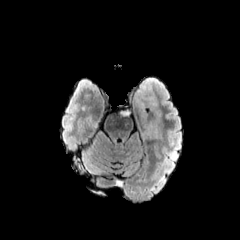
FLAIR MR.
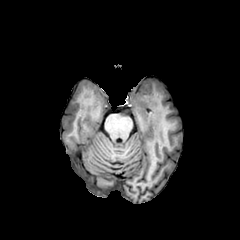
Same slice, T1-weighted MR image.
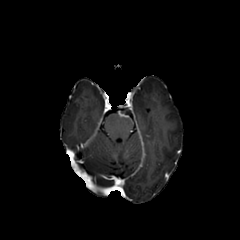
Post-contrast T1-weighted MR of the same slice.
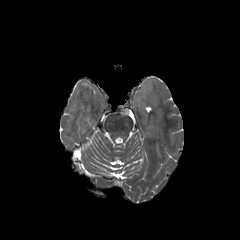
Same slice, T2-weighted MRI.
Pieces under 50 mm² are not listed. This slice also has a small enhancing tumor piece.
Annotated regions:
• peritumoral edema: box(136, 91, 161, 117)